Slice index 106
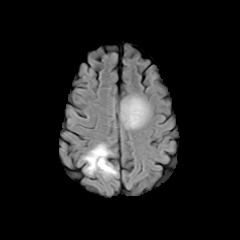
FLAIR magnetic resonance.
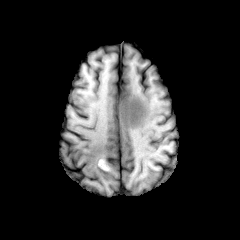
T1-weighted MR image of the same slice.
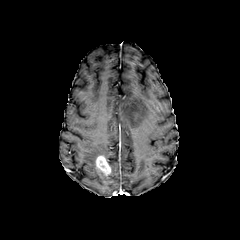
Post-contrast T1-weighted MR.
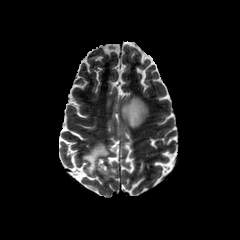
T2-weighted MRI.
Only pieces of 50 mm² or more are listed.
Annotated regions:
- peritumoral edema: 121,96,148,128; 83,143,110,174; 103,162,117,176
- enhancing tumor: 96,155,111,175